240x240 px; Brain
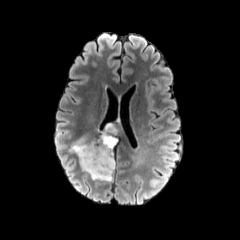
FLAIR MR.
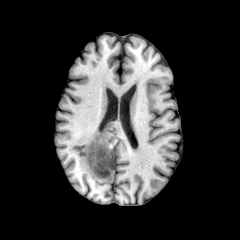
Same slice, T1-weighted MR.
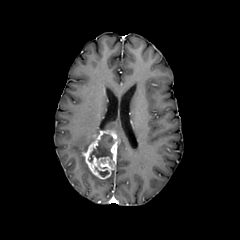
Post-contrast T1-weighted MR of the same slice.
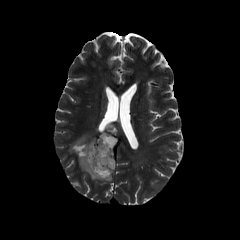
Same slice, T2-weighted MR.
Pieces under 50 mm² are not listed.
necrotic tumor core at (x1=89, y1=133, x2=114, y2=162)
enhancing tumor at (x1=81, y1=127, x2=117, y2=179)
peritumoral edema at (x1=71, y1=138, x2=113, y2=181)